FLAIR MRI.
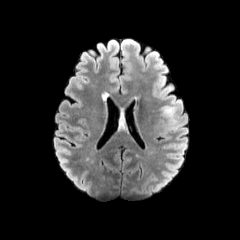
T1-weighted MR.
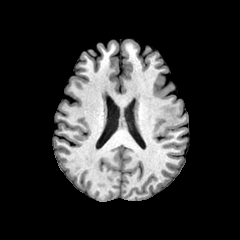
Post-contrast T1-weighted magnetic resonance.
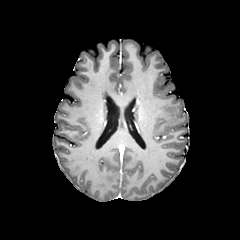
T2-weighted MRI.
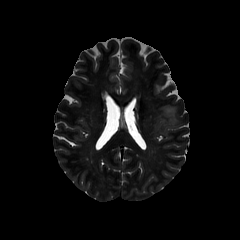
Brain
peritumoral edema — [159, 106, 177, 125]